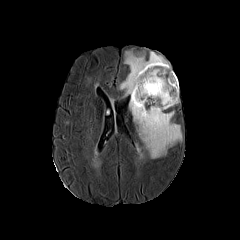
FLAIR MR.
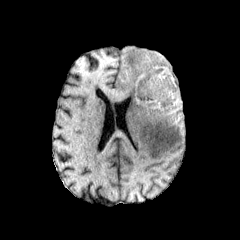
T1-weighted MR.
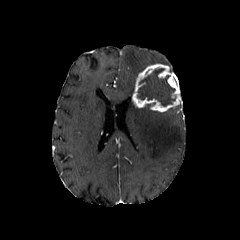
Post-contrast T1-weighted MRI.
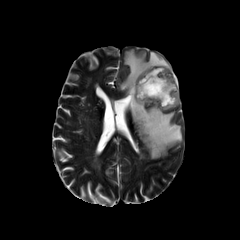
T2-weighted MR image of the same slice.
Head
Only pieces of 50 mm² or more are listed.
{
  "enhancing_tumor": [
    "(left=132, top=63, right=180, bottom=112)"
  ],
  "necrotic_tumor_core": [
    "(left=137, top=68, right=175, bottom=106)"
  ],
  "peritumoral_edema": [
    "(left=119, top=49, right=182, bottom=158)"
  ]
}